Slice 51 of 155
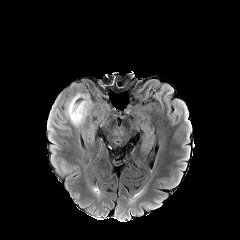
FLAIR MR.
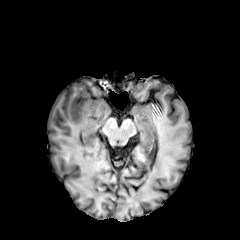
Same slice, T1-weighted MRI.
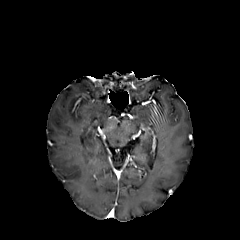
Post-contrast T1-weighted MR.
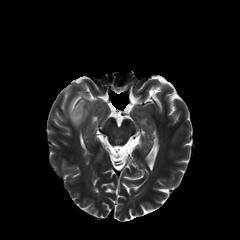
T2-weighted MR image of the same slice.
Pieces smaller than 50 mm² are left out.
peritumoral edema: x1=66 y1=95 x2=90 y2=127